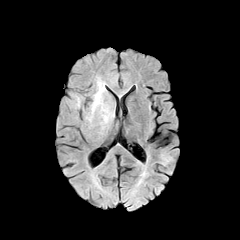
FLAIR MRI.
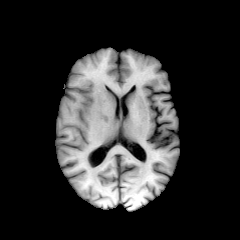
T1-weighted MR image.
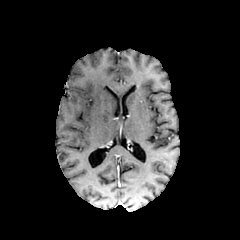
Same slice, post-contrast T1-weighted magnetic resonance.
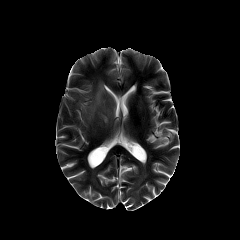
Same slice, T2-weighted MR.
240x240
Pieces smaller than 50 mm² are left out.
The largest peritumoral edema region appears at box(91, 80, 113, 123).